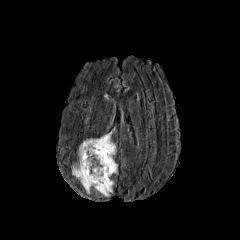
FLAIR MRI.
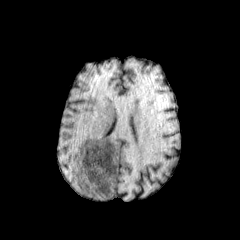
T1-weighted magnetic resonance.
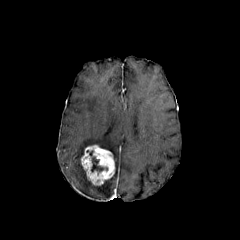
Post-contrast T1-weighted MR.
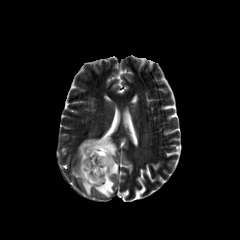
T2-weighted MRI of the same slice.
Axial plane | Head
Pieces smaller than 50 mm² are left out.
necrotic tumor core = 91 157 103 171
enhancing tumor = 81 145 115 185
peritumoral edema = 72 134 116 196